Image width 240 mm, Slice 79/155, Axial slice, Brain
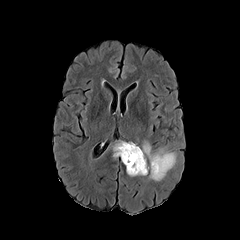
FLAIR MRI.
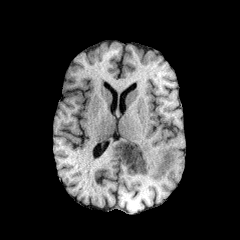
Same slice, T1-weighted magnetic resonance.
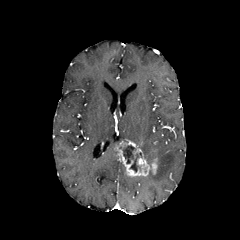
Post-contrast T1-weighted MR of the same slice.
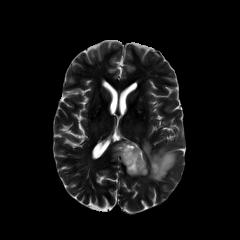
T2-weighted MRI.
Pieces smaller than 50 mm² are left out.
The largest peritumoral edema region is bounded by [x1=142, y1=141, x2=176, y2=180]. The enhancing tumor is located at [x1=114, y1=141, x2=157, y2=176]. The largest necrotic tumor core region is located at [x1=123, y1=145, x2=140, y2=172].